Head, Axial slice
FLAIR MR.
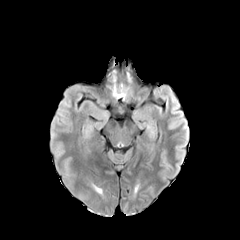
T1-weighted MR image.
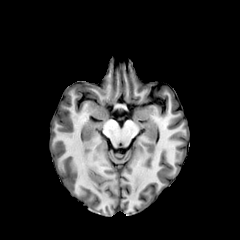
Post-contrast T1-weighted magnetic resonance.
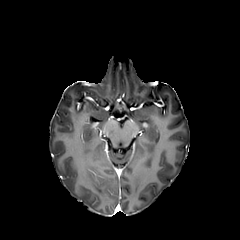
T2-weighted MRI.
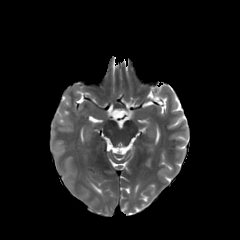
<segmentation>
  <peritumoral_edema>92:184:102:193</peritumoral_edema>
</segmentation>